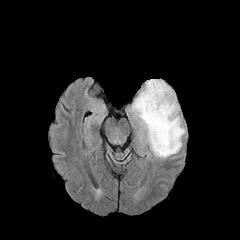
FLAIR MR.
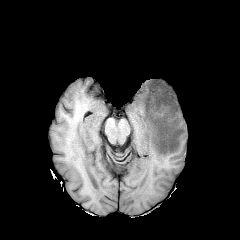
T1-weighted MR of the same slice.
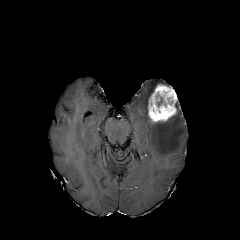
Post-contrast T1-weighted MRI of the same slice.
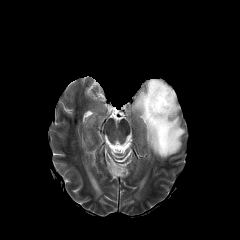
T2-weighted MR image.
Head.
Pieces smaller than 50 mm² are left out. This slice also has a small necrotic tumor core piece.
peritumoral edema: left=131, top=79, right=185, bottom=158
enhancing tumor: left=147, top=83, right=177, bottom=123